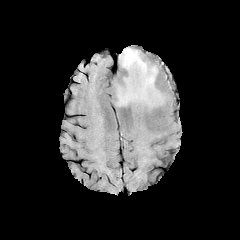
FLAIR MR image.
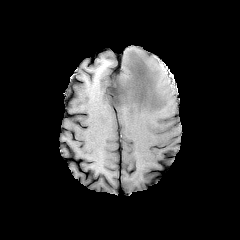
T1-weighted MRI.
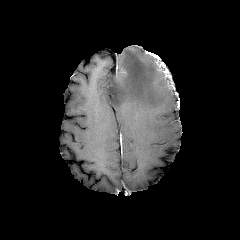
Post-contrast T1-weighted MR.
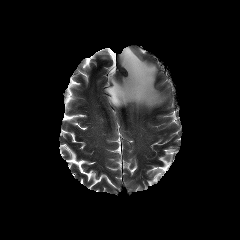
T2-weighted MR image.
Axial view, 240x240
peritumoral edema: bounding box [x1=110, y1=47, x2=165, y2=109]